Brain
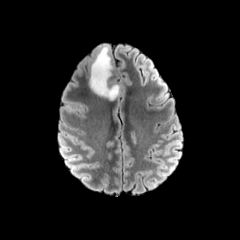
FLAIR magnetic resonance.
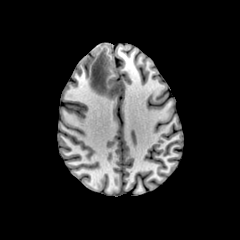
T1-weighted magnetic resonance.
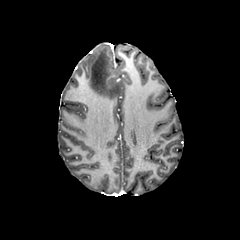
Post-contrast T1-weighted MRI.
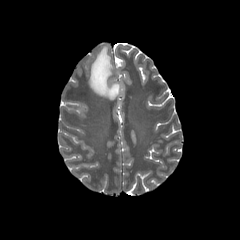
T2-weighted magnetic resonance.
peritumoral edema: rect(89, 45, 120, 99)